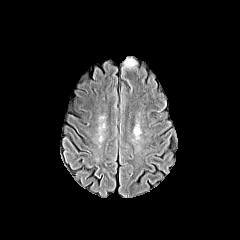
FLAIR MR.
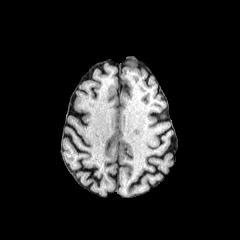
Same slice, T1-weighted magnetic resonance.
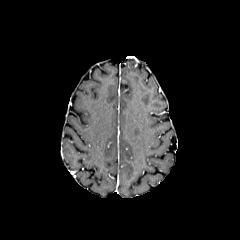
Same slice, post-contrast T1-weighted magnetic resonance.
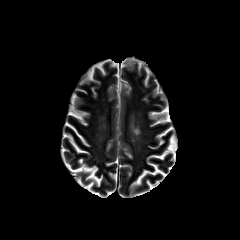
T2-weighted MR image of the same slice.
Head.
The peritumoral edema is at x1=124 y1=59 x2=135 y2=68.